Brain
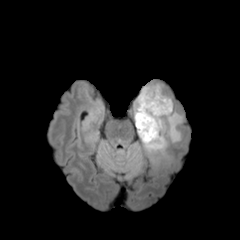
FLAIR MR image.
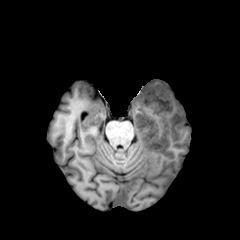
T1-weighted MRI.
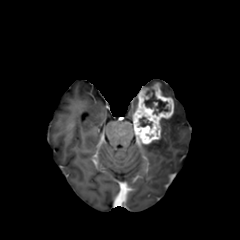
Post-contrast T1-weighted MR image.
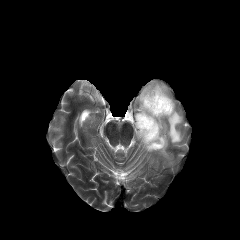
Same slice, T2-weighted MR image.
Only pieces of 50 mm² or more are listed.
peritumoral edema — box=[161, 84, 170, 96]; box=[142, 102, 183, 152]
necrotic tumor core — box=[144, 89, 169, 114]; box=[139, 117, 151, 126]
enhancing tumor — box=[133, 83, 173, 144]